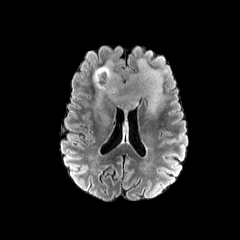
FLAIR magnetic resonance.
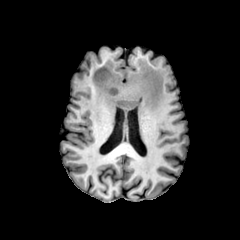
T1-weighted MRI.
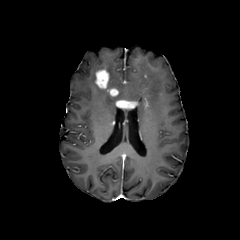
Same slice, post-contrast T1-weighted MRI.
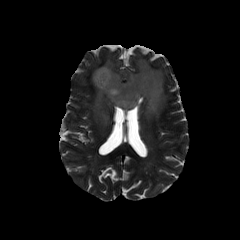
T2-weighted MR.
Brain, Axial plane
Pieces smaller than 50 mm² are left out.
The 3 largest enhancing tumor regions are located at bbox=[116, 100, 137, 108]; bbox=[95, 69, 109, 88]; bbox=[107, 88, 118, 96]. The 2 largest peritumoral edema regions appear at bbox=[100, 111, 109, 126]; bbox=[93, 58, 167, 117].